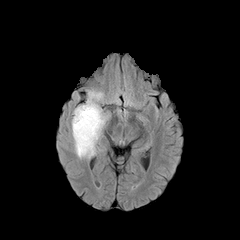
FLAIR MR.
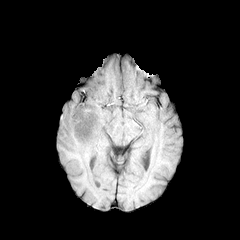
T1-weighted MR of the same slice.
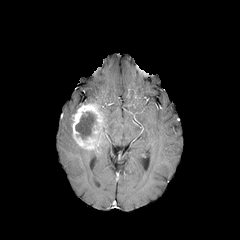
Post-contrast T1-weighted MR image of the same slice.
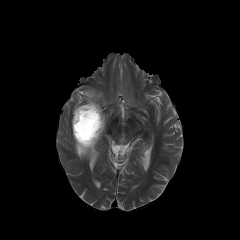
T2-weighted MR image.
240x240 px
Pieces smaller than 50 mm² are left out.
enhancing tumor = {"x1": 72, "y1": 103, "x2": 104, "y2": 149}
peritumoral edema = {"x1": 86, "y1": 90, "x2": 107, "y2": 132}, {"x1": 73, "y1": 137, "x2": 96, "y2": 158}
necrotic tumor core = {"x1": 75, "y1": 111, "x2": 96, "y2": 139}